Slice 111/155. Brain.
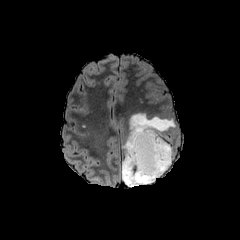
FLAIR MRI.
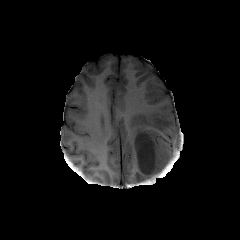
T1-weighted MRI of the same slice.
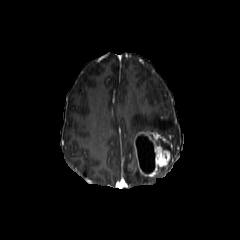
Post-contrast T1-weighted MR.
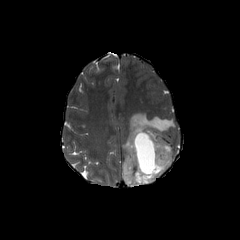
Same slice, T2-weighted MR image.
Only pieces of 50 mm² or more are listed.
necrotic tumor core: <bbox>136, 134, 155, 173</bbox> | peritumoral edema: <bbox>122, 113, 176, 187</bbox> | enhancing tumor: <bbox>133, 130, 172, 178</bbox>